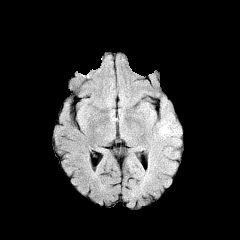
FLAIR MR image.
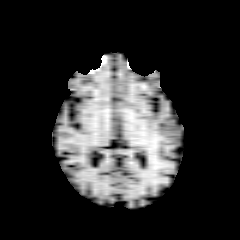
T1-weighted MRI.
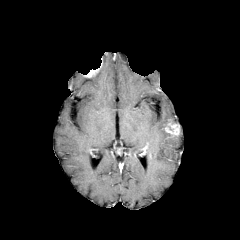
Post-contrast T1-weighted MR image.
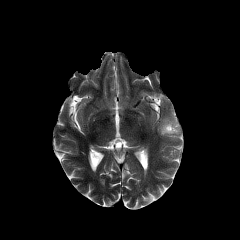
T2-weighted MR.
Brain | Axial slice
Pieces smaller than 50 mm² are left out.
enhancing tumor: rect(163, 119, 180, 137) | peritumoral edema: rect(159, 115, 173, 137)